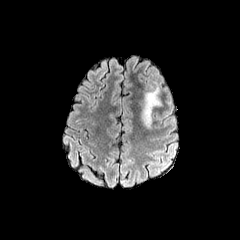
FLAIR MRI.
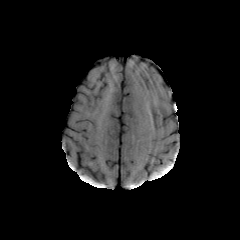
T1-weighted magnetic resonance of the same slice.
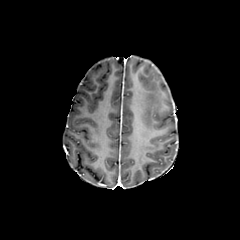
Post-contrast T1-weighted MR.
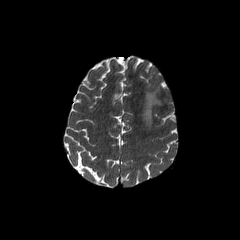
T2-weighted MRI.
Head. Axial plane.
peritumoral edema — l=138, t=86, r=160, b=128